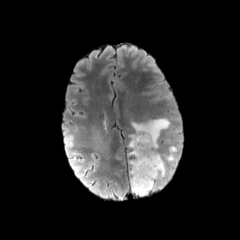
FLAIR MRI.
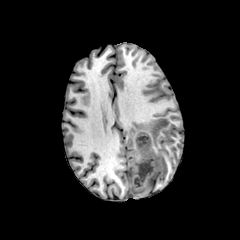
T1-weighted MRI.
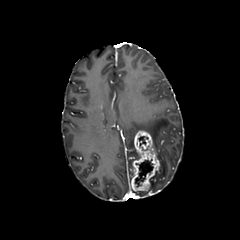
Post-contrast T1-weighted magnetic resonance of the same slice.
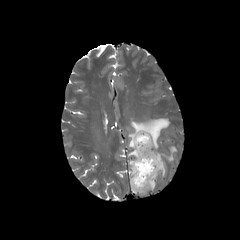
T2-weighted MR image.
Brain. Axial view.
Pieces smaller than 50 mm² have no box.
{"peritumoral_edema": ["left=132, top=153, right=165, bottom=195", "left=166, top=146, right=176, bottom=161", "left=128, top=118, right=169, bottom=159"], "enhancing_tumor": ["left=131, top=130, right=160, bottom=191"], "necrotic_tumor_core": ["left=138, top=136, right=148, bottom=146", "left=135, top=159, right=153, bottom=187"]}